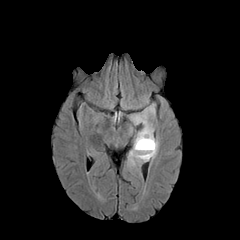
FLAIR magnetic resonance.
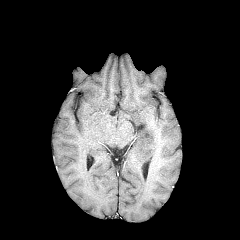
T1-weighted MR image.
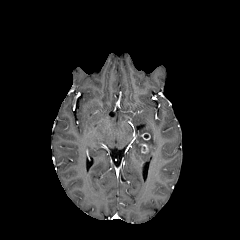
Post-contrast T1-weighted MR image.
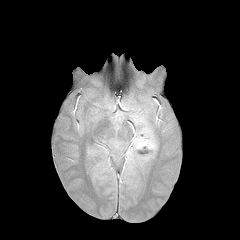
Same slice, T2-weighted MRI.
Head | Axial view
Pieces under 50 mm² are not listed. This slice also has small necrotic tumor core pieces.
The largest enhancing tumor region appears at <bbox>140, 143, 148, 153</bbox>. The peritumoral edema is bounded by <bbox>128, 104, 158, 165</bbox>.